Slice 116 of 155, Brain
FLAIR magnetic resonance.
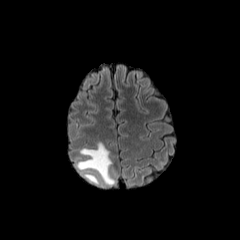
T1-weighted MRI.
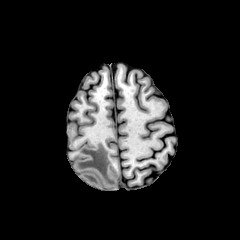
Post-contrast T1-weighted MR image.
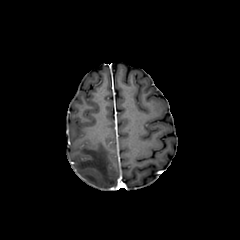
T2-weighted magnetic resonance.
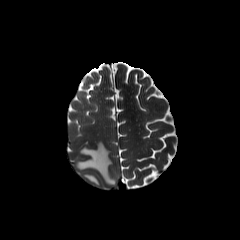
Segmented structures:
- peritumoral edema: (83,173,101,185), (76,142,115,185)